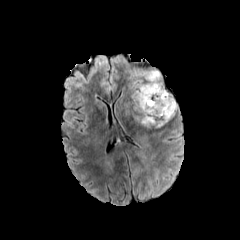
FLAIR magnetic resonance.
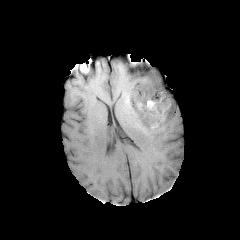
T1-weighted MR.
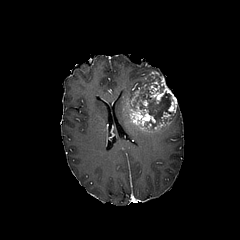
Post-contrast T1-weighted MR.
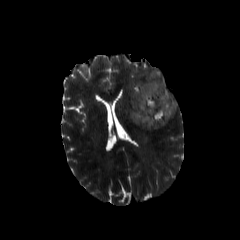
T2-weighted MR image.
Axial plane
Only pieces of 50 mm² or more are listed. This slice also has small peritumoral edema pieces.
necrotic tumor core = bbox(134, 87, 173, 126)
enhancing tumor = bbox(125, 71, 177, 132)